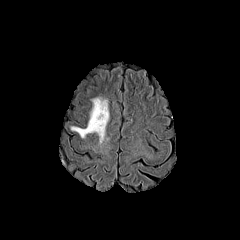
FLAIR magnetic resonance.
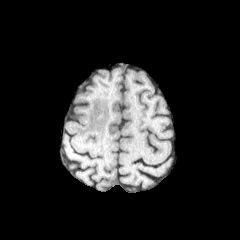
T1-weighted magnetic resonance of the same slice.
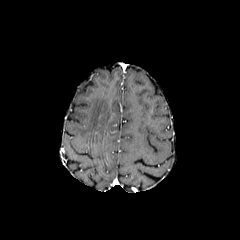
Post-contrast T1-weighted MRI.
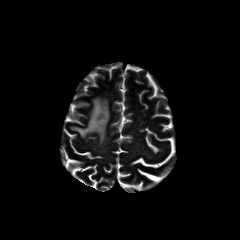
T2-weighted MR.
peritumoral_edema:
  - (71,97,109,143)